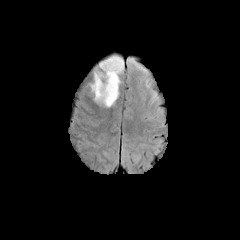
FLAIR MR image.
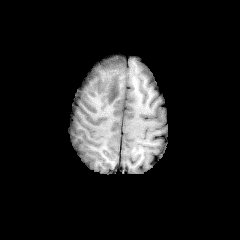
Same slice, T1-weighted MRI.
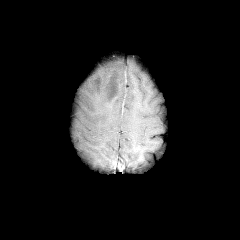
Post-contrast T1-weighted MR image of the same slice.
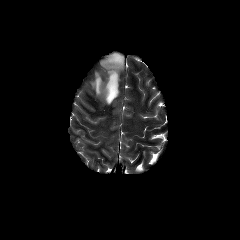
T2-weighted MR.
240x240 px
peritumoral edema: <bbox>88, 55, 123, 107</bbox>